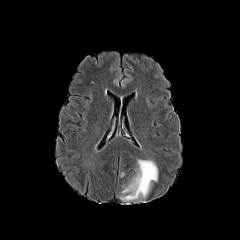
FLAIR MR image.
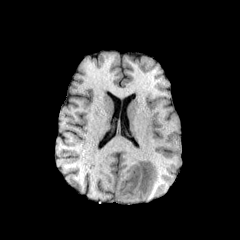
T1-weighted magnetic resonance.
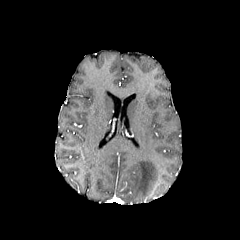
Post-contrast T1-weighted magnetic resonance.
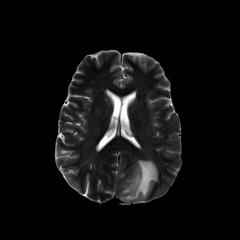
T2-weighted MR.
Brain; 240x240
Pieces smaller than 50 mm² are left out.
peritumoral edema: 119:159:158:203